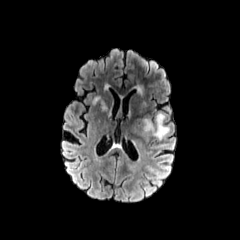
FLAIR magnetic resonance.
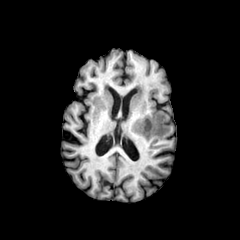
T1-weighted MR image.
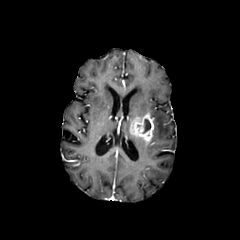
Post-contrast T1-weighted magnetic resonance.
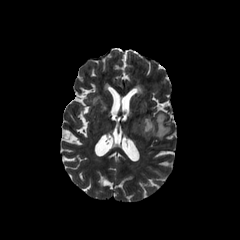
T2-weighted MRI.
Brain; Axial slice; Image size 240x240
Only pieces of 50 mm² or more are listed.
enhancing tumor: bounding box box(130, 114, 154, 145)
necrotic tumor core: bounding box box(143, 119, 151, 133)
peritumoral edema: bounding box box(153, 112, 169, 139)